Brain
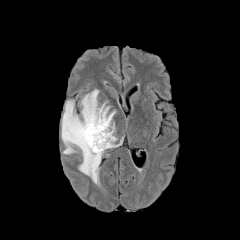
FLAIR MR image.
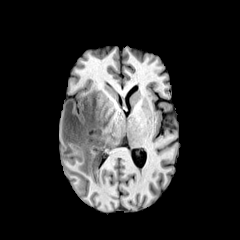
T1-weighted MR image.
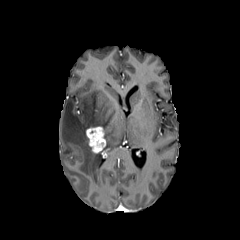
Post-contrast T1-weighted MR.
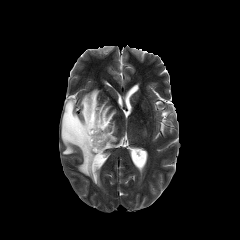
Same slice, T2-weighted MR.
peritumoral edema — [61,89,122,185]
enhancing tumor — [86,126,106,153]